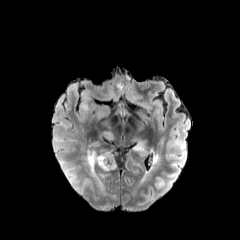
FLAIR MRI.
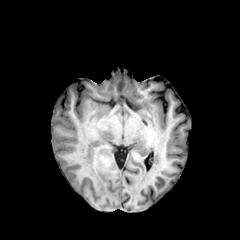
Same slice, T1-weighted MR image.
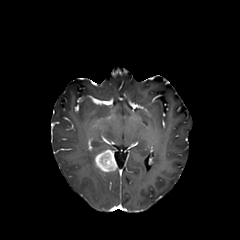
Same slice, post-contrast T1-weighted MR image.
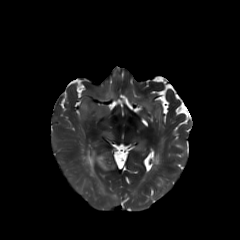
Same slice, T2-weighted MR.
Image size 240x240 | Axial plane
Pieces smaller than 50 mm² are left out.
The 3 largest peritumoral edema regions appear at (left=80, top=101, right=88, bottom=112), (left=133, top=143, right=143, bottom=151), (left=86, top=151, right=103, bottom=190). The enhancing tumor is bounded by (left=95, top=149, right=116, bottom=172).